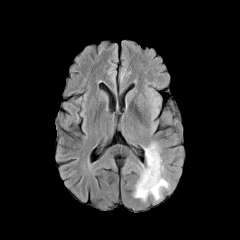
FLAIR MRI.
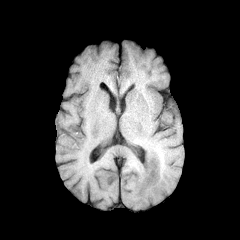
T1-weighted MR.
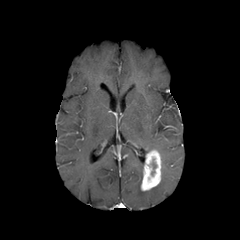
Post-contrast T1-weighted MRI.
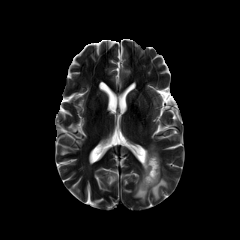
Same slice, T2-weighted MR image.
Brain
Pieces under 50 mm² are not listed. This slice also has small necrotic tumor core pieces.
The enhancing tumor is bounded by (x1=141, y1=149, x2=161, y2=190). 2 peritumoral edema regions appear at (x1=144, y1=142, x2=160, y2=159), (x1=133, y1=157, x2=169, y2=201).